FLAIR MRI.
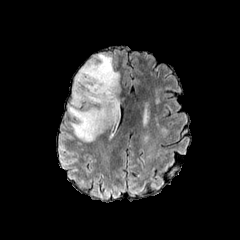
T1-weighted MRI.
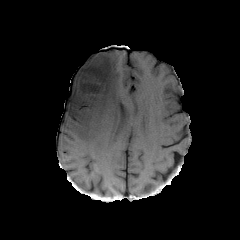
Post-contrast T1-weighted MR image.
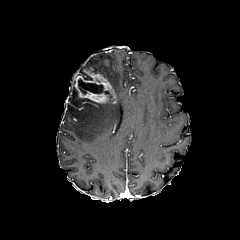
T2-weighted MR image.
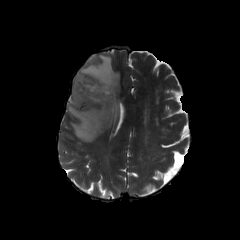
Axial slice
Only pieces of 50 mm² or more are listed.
necrotic tumor core — 78,78,112,98
enhancing tumor — 74,67,116,103
peritumoral edema — 67,53,120,142